FLAIR MRI.
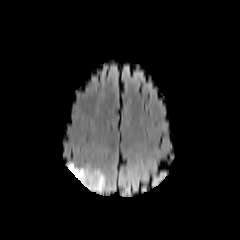
T1-weighted MR.
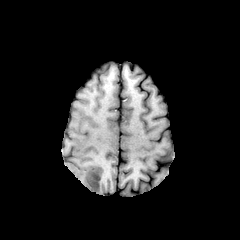
Post-contrast T1-weighted MR.
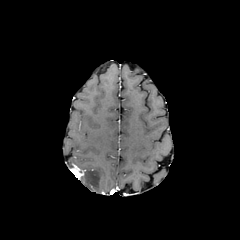
T2-weighted magnetic resonance.
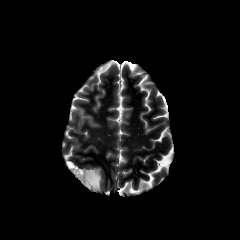
240x240 px. Brain.
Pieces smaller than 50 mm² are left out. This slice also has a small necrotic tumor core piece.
enhancing tumor at {"x1": 68, "y1": 164, "x2": 84, "y2": 179}
peritumoral edema at {"x1": 80, "y1": 169, "x2": 104, "y2": 192}